FLAIR MRI.
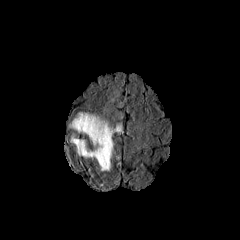
T1-weighted MR.
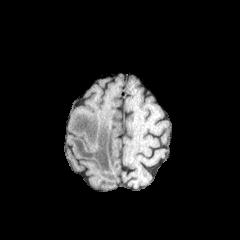
Post-contrast T1-weighted MR image.
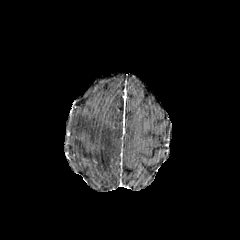
T2-weighted magnetic resonance.
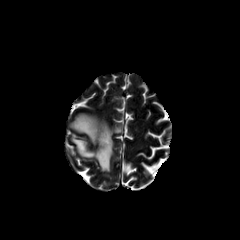
Axial view
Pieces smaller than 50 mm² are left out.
* peritumoral edema: [x1=69, y1=112, x2=123, y2=172]